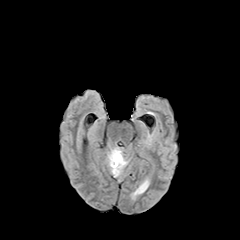
FLAIR MRI.
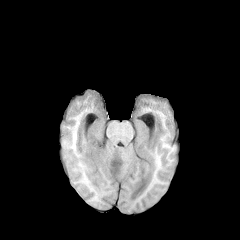
T1-weighted MR image.
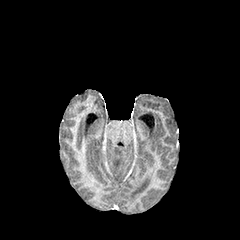
Post-contrast T1-weighted magnetic resonance.
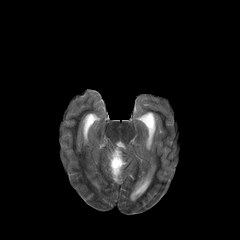
T2-weighted MR image of the same slice.
240x240 px
Findings:
* peritumoral edema: {"x1": 108, "y1": 147, "x2": 127, "y2": 177}